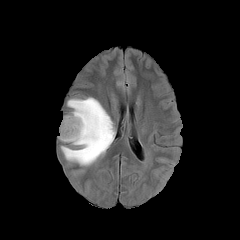
FLAIR MRI.
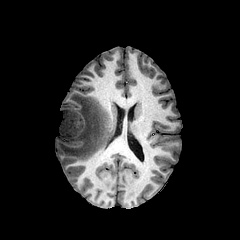
T1-weighted MRI.
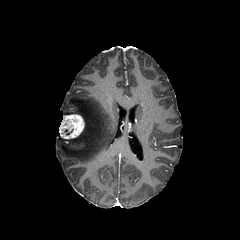
Post-contrast T1-weighted magnetic resonance.
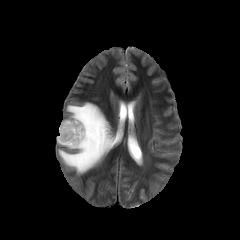
T2-weighted MR image of the same slice.
240x240; Axial slice
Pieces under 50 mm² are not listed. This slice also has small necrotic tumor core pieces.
Findings:
* peritumoral edema: (58,98,114,167)
* enhancing tumor: (59,114,84,138)